Head, 240x240, Axial view
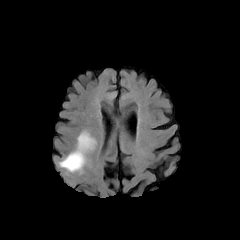
FLAIR magnetic resonance.
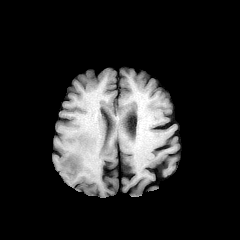
T1-weighted MRI.
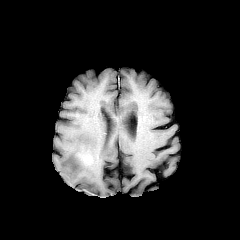
Post-contrast T1-weighted MR image of the same slice.
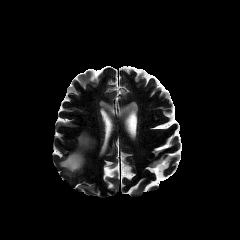
Same slice, T2-weighted MR image.
peritumoral edema: 58,131,95,173